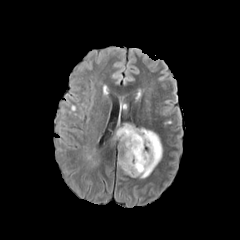
FLAIR magnetic resonance.
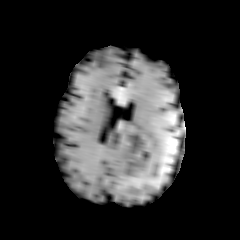
T1-weighted MR image.
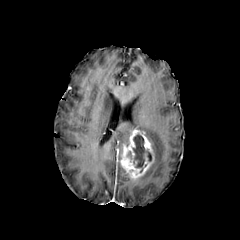
Same slice, post-contrast T1-weighted MRI.
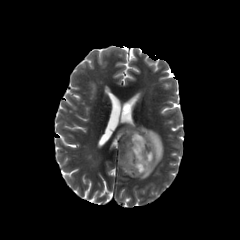
T2-weighted MR of the same slice.
Axial slice. Image size 240x240. Brain.
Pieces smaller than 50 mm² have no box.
{"peritumoral_edema": ["(left=137, top=127, right=163, bottom=179)", "(left=117, top=124, right=136, bottom=143)"], "necrotic_tumor_core": ["(left=133, top=134, right=144, bottom=167)"], "enhancing_tumor": ["(left=120, top=129, right=154, bottom=178)"]}